Image width 240 mm | Slice 65/155
FLAIR magnetic resonance.
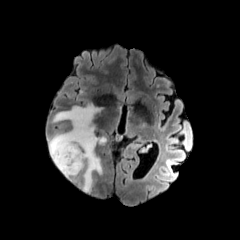
T1-weighted MRI.
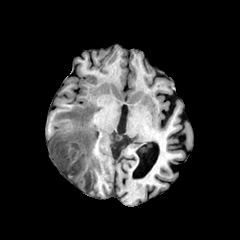
Post-contrast T1-weighted MR image.
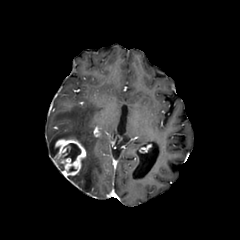
T2-weighted MR image.
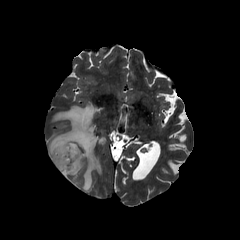
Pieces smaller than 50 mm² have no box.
The enhancing tumor is at box=[52, 138, 86, 177]. The largest necrotic tumor core region appears at box=[61, 143, 80, 162]. The peritumoral edema is bounded by box=[49, 103, 106, 191].